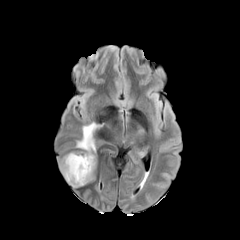
FLAIR magnetic resonance.
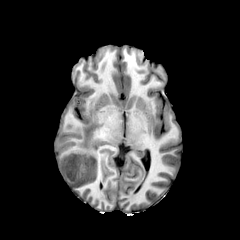
Same slice, T1-weighted MRI.
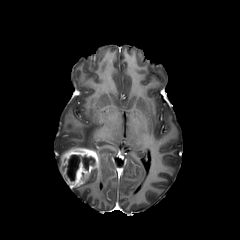
Post-contrast T1-weighted MRI.
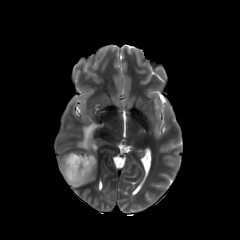
T2-weighted magnetic resonance.
Axial view; Head
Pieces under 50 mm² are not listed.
{"peritumoral_edema": ["left=75, top=123, right=101, bottom=151"], "enhancing_tumor": ["left=60, top=148, right=98, bottom=187"], "necrotic_tumor_core": ["left=61, top=155, right=95, bottom=181"]}